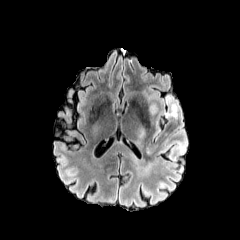
FLAIR magnetic resonance.
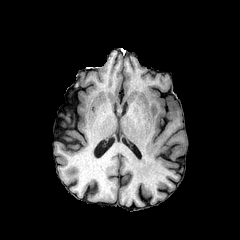
Same slice, T1-weighted MR.
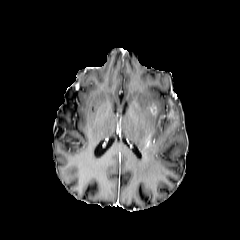
Post-contrast T1-weighted MRI of the same slice.
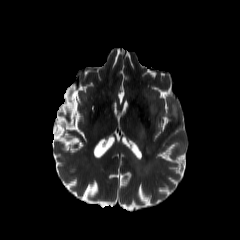
T2-weighted MR image.
Brain, Axial slice
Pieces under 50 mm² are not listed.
The 2 largest enhancing tumor regions appear at x1=145 y1=134 x2=151 y2=148, x1=149 y1=104 x2=157 y2=115. The peritumoral edema is bounded by x1=139 y1=91 x2=187 y2=172.